FLAIR MR image.
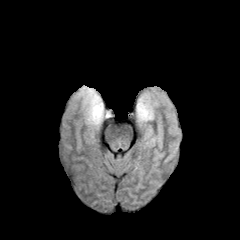
T1-weighted magnetic resonance.
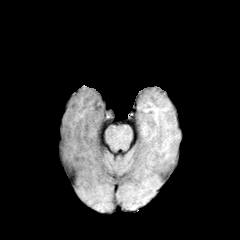
Post-contrast T1-weighted MRI.
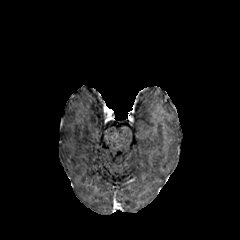
T2-weighted MR image.
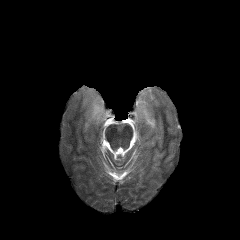
Brain
Findings:
• peritumoral edema: {"x1": 137, "y1": 97, "x2": 153, "y2": 123}, {"x1": 78, "y1": 86, "x2": 108, "y2": 127}